Brain
FLAIR magnetic resonance.
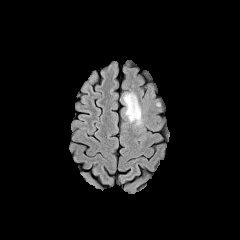
T1-weighted MRI.
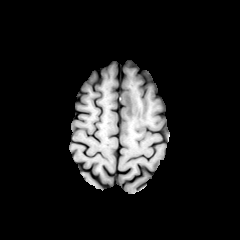
Post-contrast T1-weighted MRI.
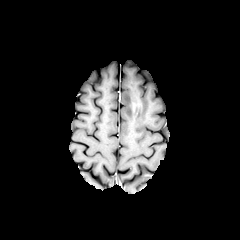
T2-weighted MRI.
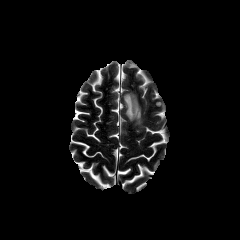
peritumoral edema — 123:91:142:125